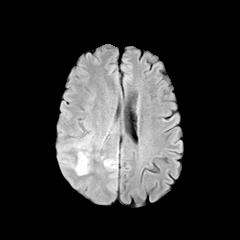
FLAIR MR image.
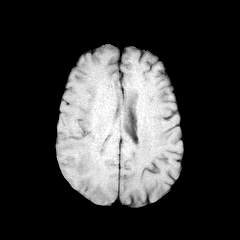
Same slice, T1-weighted MR.
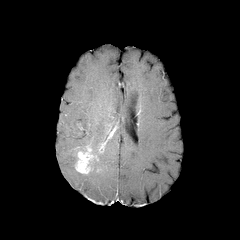
Post-contrast T1-weighted MR image of the same slice.
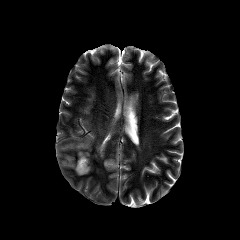
T2-weighted magnetic resonance.
240x240 px
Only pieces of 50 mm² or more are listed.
enhancing tumor: 75 146 93 173 | peritumoral edema: 64 134 92 151, 104 159 116 169, 62 161 76 170